Brain
FLAIR MR image.
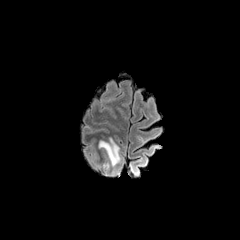
T1-weighted MRI.
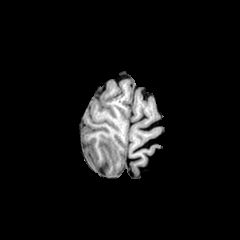
Post-contrast T1-weighted magnetic resonance.
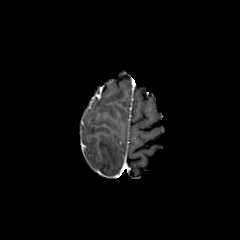
T2-weighted magnetic resonance.
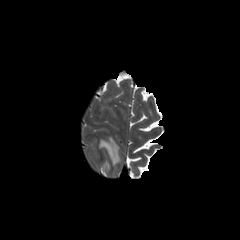
The peritumoral edema is located at bbox(98, 137, 120, 173).